Image size 240x240 | Brain | Slice 116/155
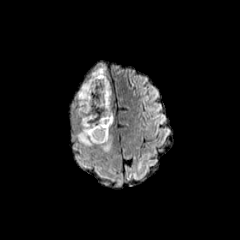
FLAIR magnetic resonance.
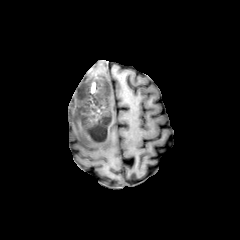
T1-weighted MR image.
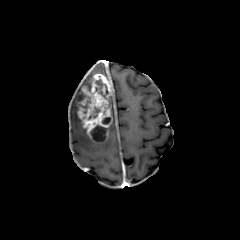
Post-contrast T1-weighted MR.
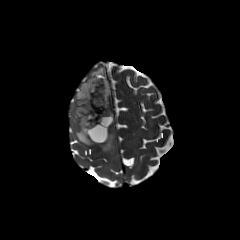
Same slice, T2-weighted magnetic resonance.
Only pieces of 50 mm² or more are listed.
enhancing tumor: {"x1": 77, "y1": 73, "x2": 112, "y2": 142} | necrotic tumor core: {"x1": 88, "y1": 107, "x2": 100, "y2": 119}, {"x1": 95, "y1": 79, "x2": 108, "y2": 98}, {"x1": 91, "y1": 125, "x2": 105, "y2": 141}, {"x1": 102, "y1": 117, "x2": 110, "y2": 124} | peritumoral edema: {"x1": 73, "y1": 65, "x2": 111, "y2": 151}